FLAIR MR image.
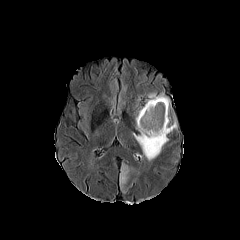
T1-weighted magnetic resonance.
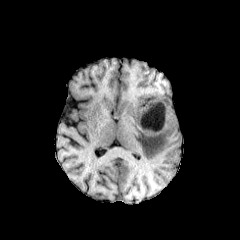
Post-contrast T1-weighted MR image.
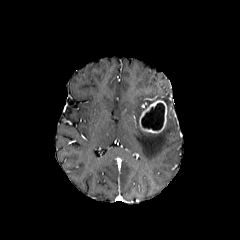
T2-weighted MR image.
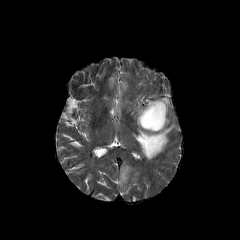
Head, Axial slice
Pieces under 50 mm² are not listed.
{
  "enhancing_tumor": [
    "<box>139,100,167,133</box>"
  ],
  "peritumoral_edema": [
    "<box>133,92,177,160</box>",
    "<box>120,164,129,187</box>"
  ],
  "necrotic_tumor_core": [
    "<box>141,103,164,130</box>"
  ]
}